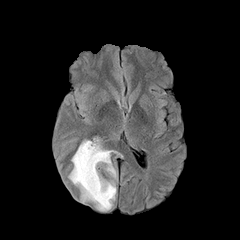
FLAIR MRI.
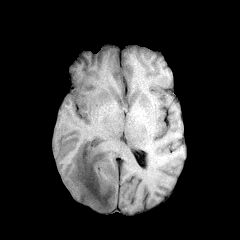
T1-weighted MRI of the same slice.
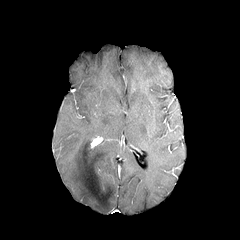
Same slice, post-contrast T1-weighted MR.
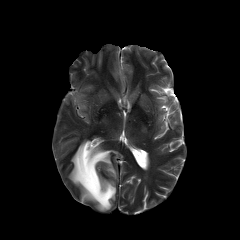
Same slice, T2-weighted MR.
Brain | Image size 240x240
peritumoral edema — rect(68, 140, 116, 211)